240x240 px; Axial plane
FLAIR MR image.
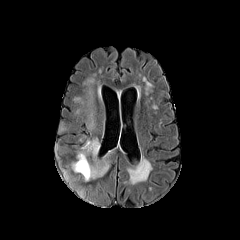
T1-weighted magnetic resonance.
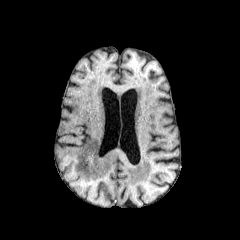
Post-contrast T1-weighted MRI.
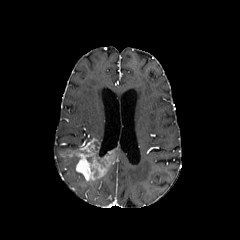
T2-weighted magnetic resonance.
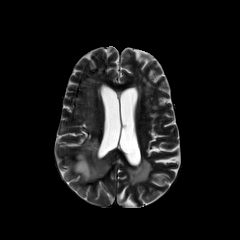
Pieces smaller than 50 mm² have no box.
peritumoral edema at left=71, top=155, right=79, bottom=172
necrotic tumor core at left=94, top=142, right=100, bottom=162
enhancing tumor at left=58, top=138, right=115, bottom=180